Axial view; Slice index 71
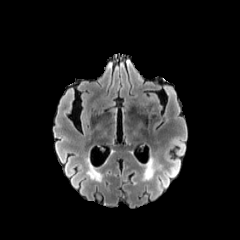
FLAIR MRI.
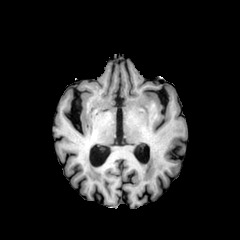
Same slice, T1-weighted magnetic resonance.
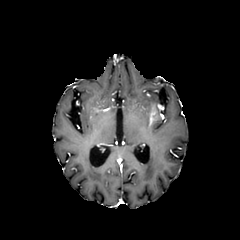
Post-contrast T1-weighted MRI.
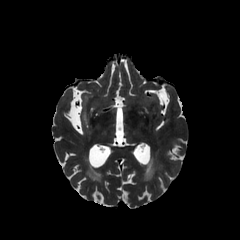
Same slice, T2-weighted MR image.
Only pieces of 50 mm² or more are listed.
peritumoral edema at x1=142, y1=161, x2=153, y2=181